Brain.
FLAIR MRI.
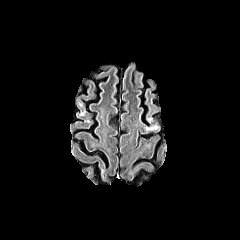
T1-weighted magnetic resonance.
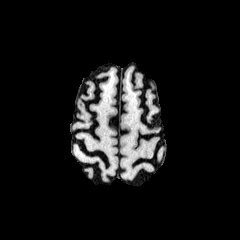
Post-contrast T1-weighted MRI.
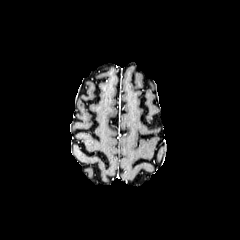
T2-weighted MR.
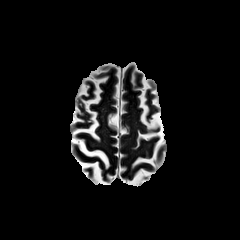
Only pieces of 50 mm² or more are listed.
peritumoral edema: x1=146, y1=124, x2=158, y2=130